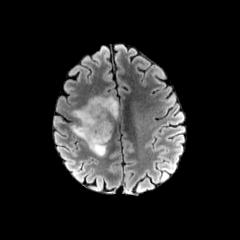
FLAIR MR image.
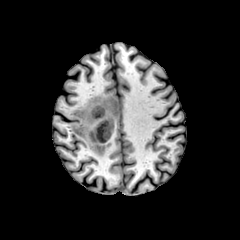
Same slice, T1-weighted magnetic resonance.
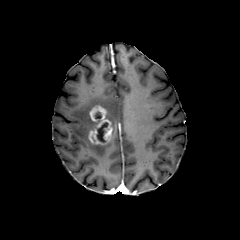
Post-contrast T1-weighted magnetic resonance.
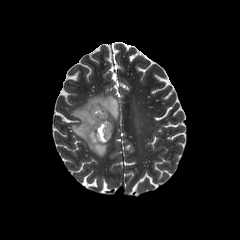
T2-weighted MRI of the same slice.
Axial slice. Image size 240x240.
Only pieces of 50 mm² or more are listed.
peritumoral edema: left=71, top=95, right=118, bottom=156 | necrotic tumor core: left=97, top=122, right=108, bottom=142 | enhancing tumor: left=88, top=105, right=113, bottom=145